FLAIR MR image.
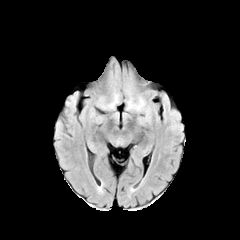
T1-weighted MR image.
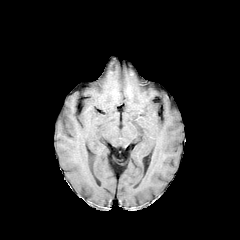
Post-contrast T1-weighted magnetic resonance.
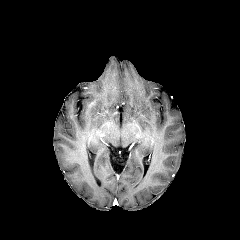
T2-weighted MRI.
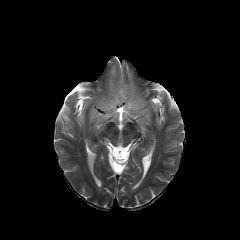
Axial plane | Head | 240x240 px
peritumoral edema: x1=127 y1=94 x2=145 y2=109, x1=108 y1=94 x2=119 y2=108